Image width 240 mm; Brain; Slice 106/155
FLAIR magnetic resonance.
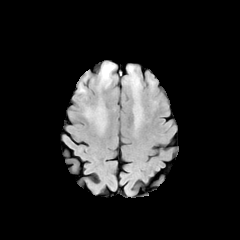
T1-weighted MRI.
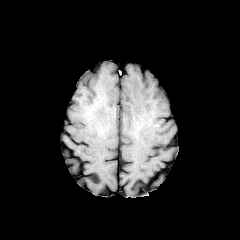
Post-contrast T1-weighted magnetic resonance.
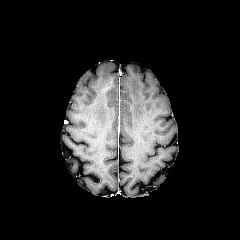
T2-weighted MR image.
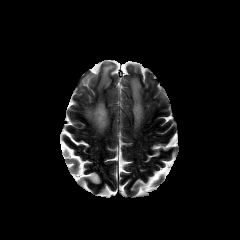
peritumoral_edema:
  - (x1=123, y1=65, x2=143, y2=128)
  - (x1=148, y1=78, x2=155, y2=89)
  - (x1=79, y1=73, x2=89, y2=93)
  - (x1=97, y1=62, x2=115, y2=90)
  - (x1=85, y1=102, x2=107, y2=131)